FLAIR MR.
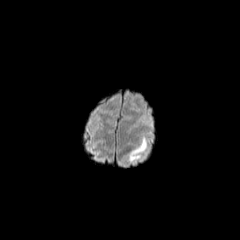
T1-weighted magnetic resonance.
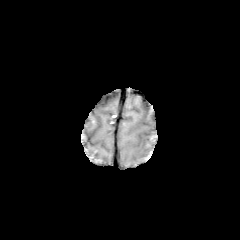
Post-contrast T1-weighted magnetic resonance.
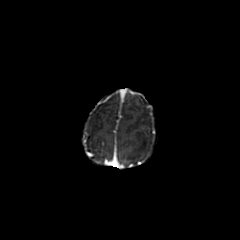
T2-weighted MR image.
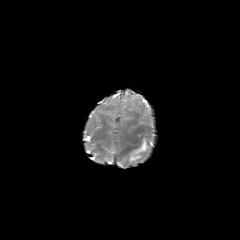
240x240, Head
<segmentation>
  <peritumoral_edema>[128,137,147,162]</peritumoral_edema>
</segmentation>